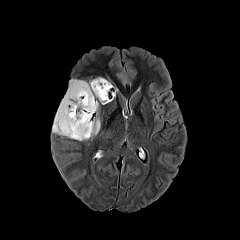
FLAIR MRI.
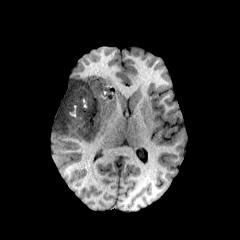
T1-weighted MR.
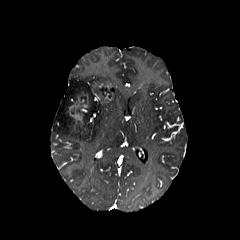
Post-contrast T1-weighted MR.
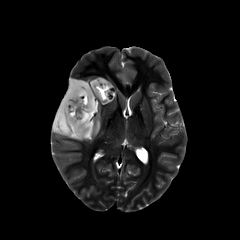
T2-weighted MRI of the same slice.
Head
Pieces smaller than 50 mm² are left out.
peritumoral edema at region(53, 77, 110, 140)
necrotic tumor core at region(70, 92, 96, 134); region(95, 86, 111, 101)
enhancing tumor at region(68, 96, 84, 123); region(92, 82, 111, 90)